FLAIR MRI.
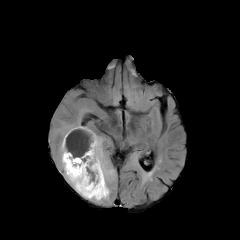
T1-weighted MR.
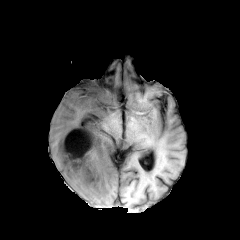
Post-contrast T1-weighted MR.
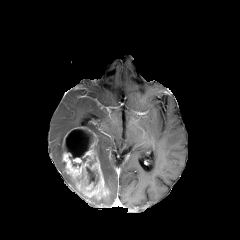
T2-weighted magnetic resonance.
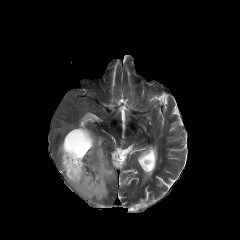
Brain, Axial slice
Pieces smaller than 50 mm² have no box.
<segmentation>
  <peritumoral_edema>region(58, 121, 84, 138); region(89, 196, 108, 202); region(58, 139, 64, 171); region(97, 136, 114, 188); region(64, 172, 76, 190)</peritumoral_edema>
  <necrotic_tumor_core>region(86, 167, 98, 185); region(64, 129, 92, 159)</necrotic_tumor_core>
  <enhancing_tumor>region(62, 127, 109, 200)</enhancing_tumor>
</segmentation>